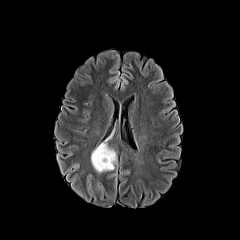
FLAIR MR image.
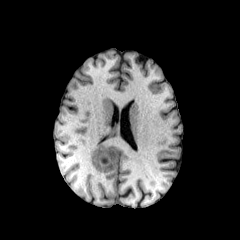
T1-weighted MRI.
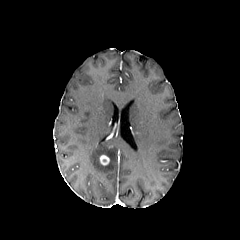
Post-contrast T1-weighted MR image of the same slice.
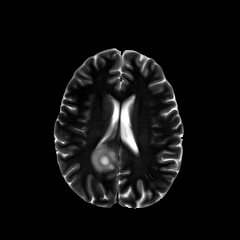
T2-weighted MR image.
Head, Image size 240x240
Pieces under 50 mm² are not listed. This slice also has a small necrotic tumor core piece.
peritumoral_edema:
  - <box>91,144,116,172</box>
enhancing_tumor:
  - <box>99,155,109,165</box>